FLAIR MR.
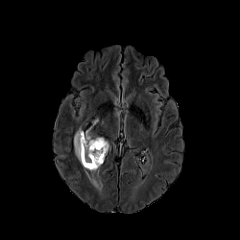
T1-weighted MR.
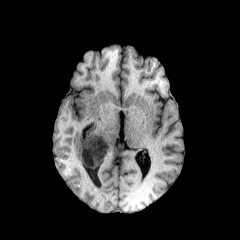
Post-contrast T1-weighted MR.
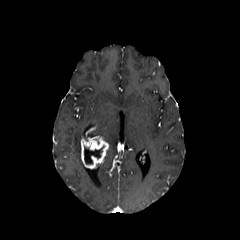
T2-weighted MR image.
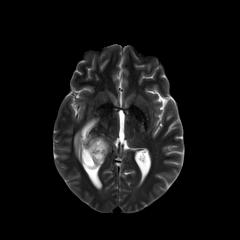
240x240 px. Axial view.
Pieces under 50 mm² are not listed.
Segmented structures:
• necrotic tumor core: 84, 146, 104, 164
• peritumoral edema: 74, 128, 94, 167
• enhancing tumor: 81, 137, 108, 168